Slice 111 of 155, Axial view
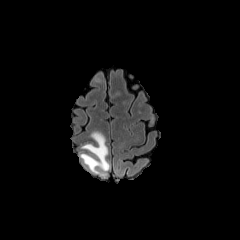
FLAIR MRI.
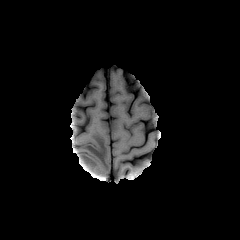
T1-weighted MR image.
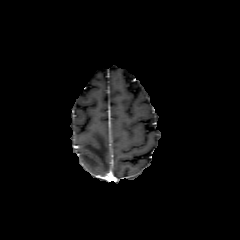
Post-contrast T1-weighted MRI.
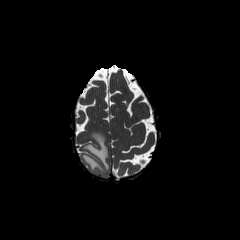
T2-weighted MR image.
- peritumoral edema: x1=80, y1=131, x2=110, y2=176